FLAIR MR image.
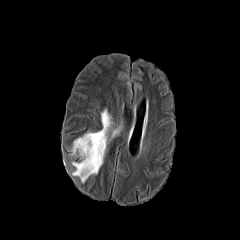
T1-weighted MRI.
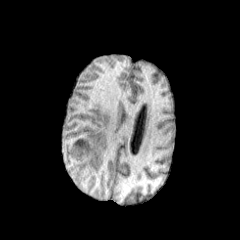
Post-contrast T1-weighted MR.
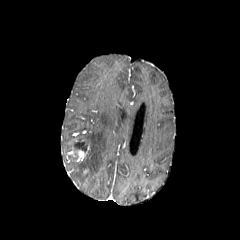
T2-weighted magnetic resonance.
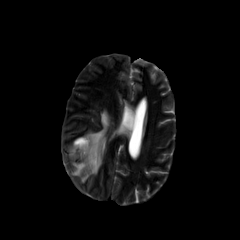
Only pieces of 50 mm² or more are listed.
The largest enhancing tumor region is located at x1=73, y1=150, x2=86, y2=160. 2 peritumoral edema regions are located at x1=112, y1=124, x2=121, y2=137; x1=71, y1=108, x2=111, y2=182.